Axial slice, Image covers 240 mm x 240 mm
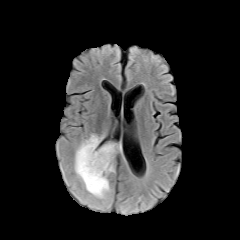
FLAIR MR image.
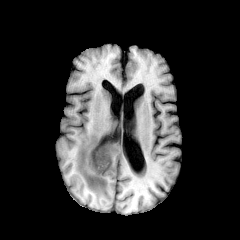
T1-weighted MR.
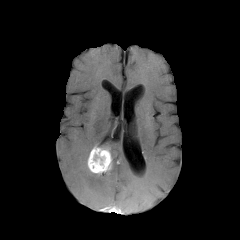
Post-contrast T1-weighted MR.
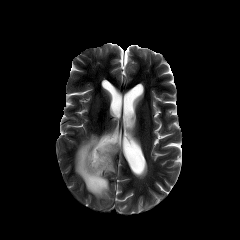
T2-weighted MRI of the same slice.
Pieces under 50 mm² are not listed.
enhancing_tumor:
  - <bbox>87, 144, 112, 175</bbox>
peritumoral_edema:
  - <bbox>74, 134, 121, 202</bbox>